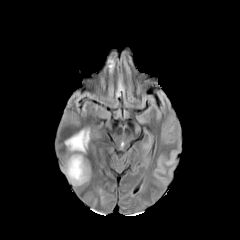
FLAIR MR.
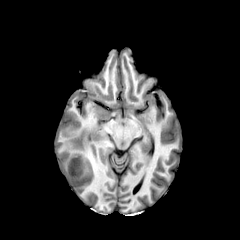
T1-weighted MR.
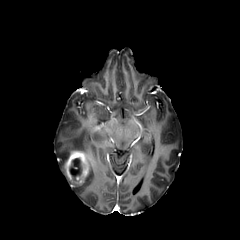
Same slice, post-contrast T1-weighted MRI.
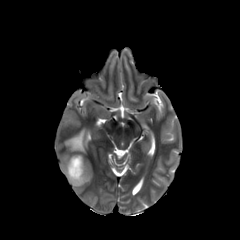
T2-weighted magnetic resonance.
Head. Image size 240x240. Axial plane.
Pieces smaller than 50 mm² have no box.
enhancing tumor: l=64, t=151, r=89, b=184 | necrotic tumor core: l=69, t=158, r=81, b=181 | peritumoral edema: l=65, t=129, r=89, b=154